FLAIR MR image.
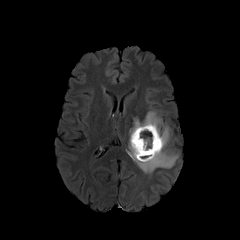
T1-weighted MR image.
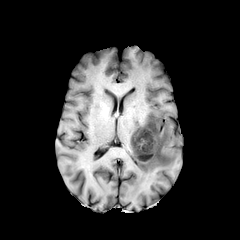
Post-contrast T1-weighted MR image.
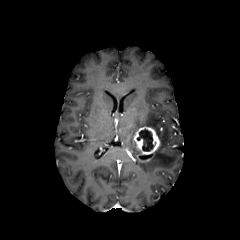
T2-weighted MR.
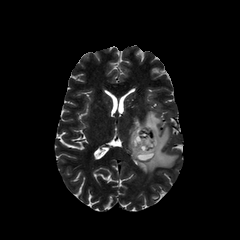
Head.
enhancing tumor: bounding box x1=133, y1=126, x2=160, y2=161
peritumoral edema: bounding box x1=128, y1=110, x2=178, y2=173
necrotic tumor core: bounding box x1=137, y1=129, x2=154, y2=151; x1=139, y1=154, x2=152, y2=159